Slice 109/155
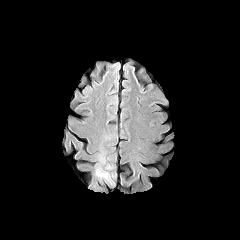
FLAIR MRI.
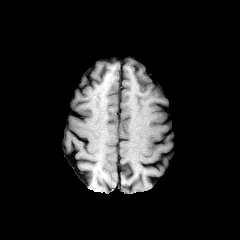
T1-weighted MR of the same slice.
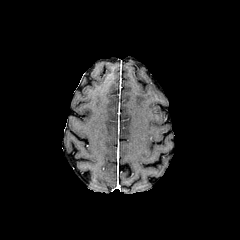
Post-contrast T1-weighted MR image of the same slice.
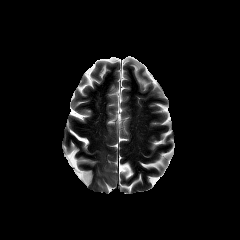
T2-weighted MR.
{
  "peritumoral_edema": [
    "97 169 108 177"
  ]
}